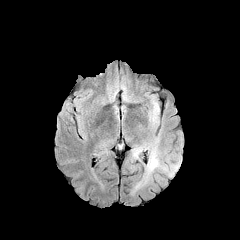
FLAIR magnetic resonance.
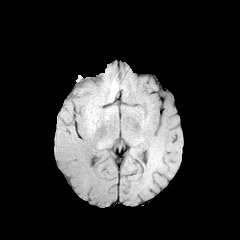
T1-weighted MR image of the same slice.
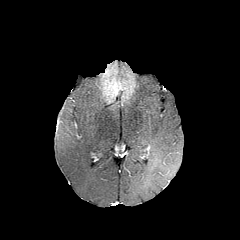
Post-contrast T1-weighted MR.
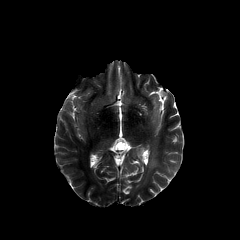
T2-weighted MR image.
Head; Image size 240x240; Axial view
2 peritumoral edema regions appear at 125, 92, 183, 188; 105, 138, 114, 147.